Slice index 72; Brain; Axial slice
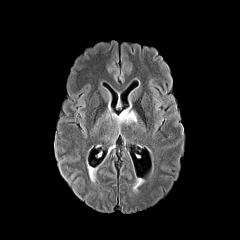
FLAIR MRI.
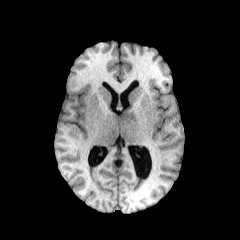
Same slice, T1-weighted MR.
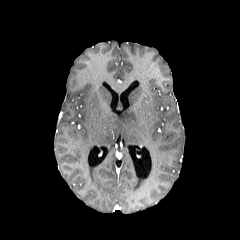
Post-contrast T1-weighted magnetic resonance.
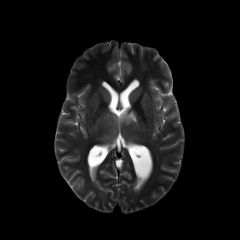
T2-weighted MR image of the same slice.
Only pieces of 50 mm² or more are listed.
The largest peritumoral edema region appears at (106,108,137,132).